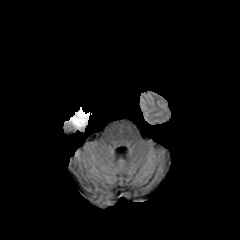
FLAIR MRI.
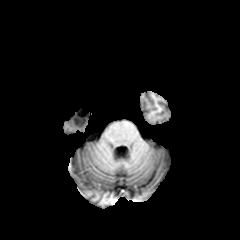
T1-weighted MR.
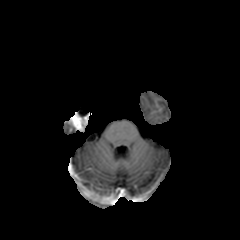
Same slice, post-contrast T1-weighted MRI.
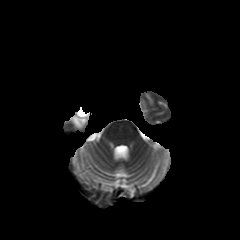
T2-weighted MR.
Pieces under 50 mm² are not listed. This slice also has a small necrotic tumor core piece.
enhancing tumor at left=68, top=112, right=89, bottom=131